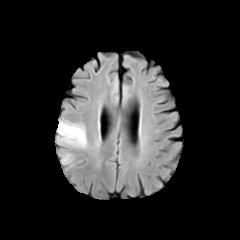
FLAIR MR.
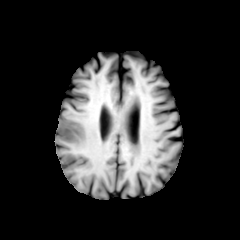
T1-weighted MR image of the same slice.
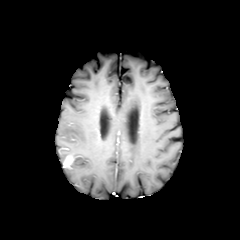
Post-contrast T1-weighted MR.
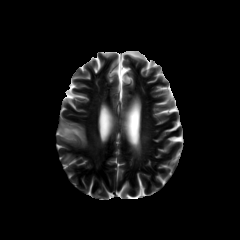
T2-weighted MRI of the same slice.
Axial slice | Brain
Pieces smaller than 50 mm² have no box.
Segmented structures:
- enhancing tumor: l=63, t=155, r=73, b=167
- peritumoral edema: l=57, t=118, r=87, b=148